FLAIR MR.
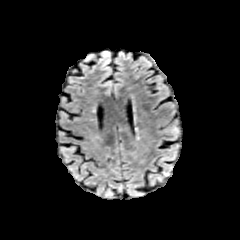
T1-weighted MR image.
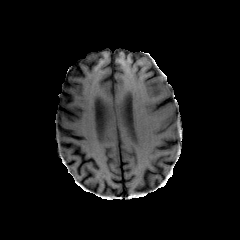
Post-contrast T1-weighted magnetic resonance.
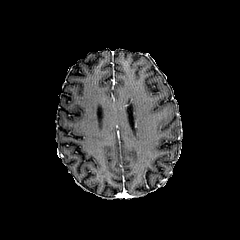
T2-weighted magnetic resonance.
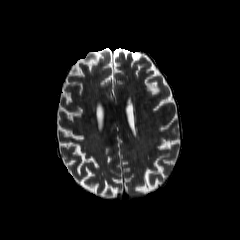
Axial view, Brain, 240x240 px
Findings:
• peritumoral edema: l=135, t=127, r=139, b=140